240x240 | Brain
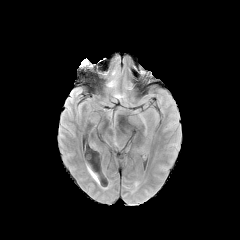
FLAIR MR.
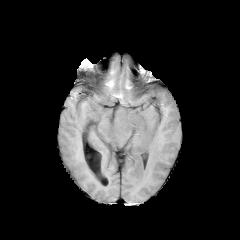
T1-weighted MRI of the same slice.
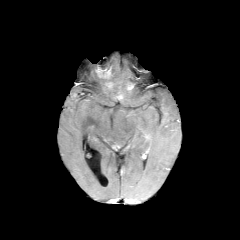
Same slice, post-contrast T1-weighted magnetic resonance.
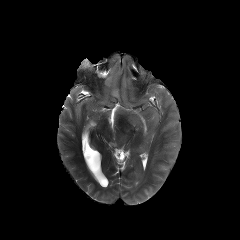
T2-weighted MR.
The peritumoral edema lies within box(104, 63, 132, 100).